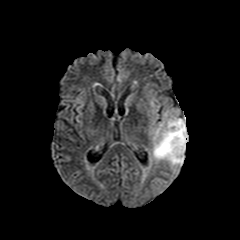
FLAIR magnetic resonance.
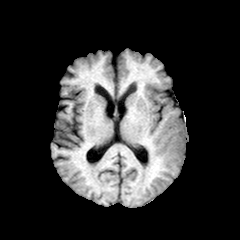
T1-weighted MRI.
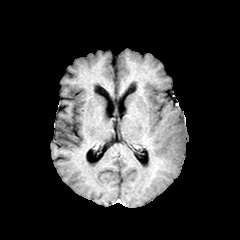
Post-contrast T1-weighted MR of the same slice.
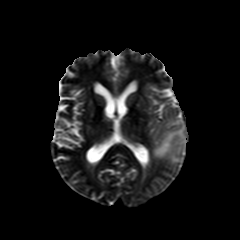
Same slice, T2-weighted MRI.
Head, 240x240
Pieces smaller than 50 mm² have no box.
The largest peritumoral edema region is bounded by 150, 111, 187, 166.